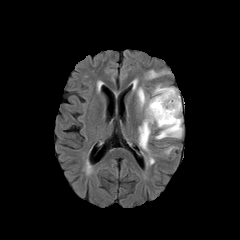
FLAIR magnetic resonance.
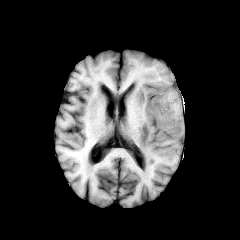
T1-weighted MRI of the same slice.
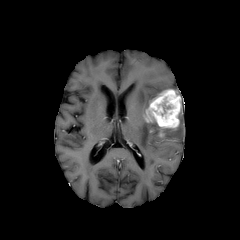
Same slice, post-contrast T1-weighted MR.
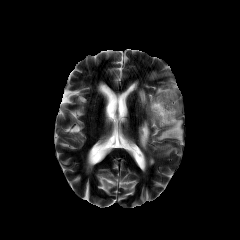
T2-weighted MR.
Axial plane, Brain
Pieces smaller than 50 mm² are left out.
enhancing_tumor:
  - (left=145, top=89, right=181, bottom=129)
necrotic_tumor_core:
  - (left=156, top=97, right=173, bottom=117)
peritumoral_edema:
  - (left=139, top=120, right=154, bottom=151)
  - (left=155, top=114, right=182, bottom=139)
  - (left=149, top=71, right=158, bottom=78)
  - (left=153, top=78, right=177, bottom=96)
  - (left=137, top=88, right=148, bottom=107)